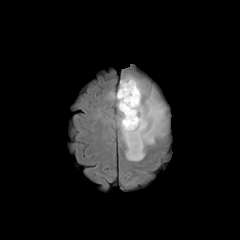
FLAIR MR image.
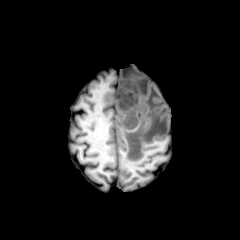
T1-weighted MR image of the same slice.
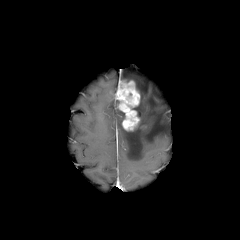
Same slice, post-contrast T1-weighted MR image.
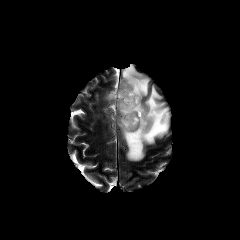
T2-weighted magnetic resonance of the same slice.
Axial slice
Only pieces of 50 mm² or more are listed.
peritumoral_edema:
  - [118,70,167,161]
enhancing_tumor:
  - [114,80,140,130]